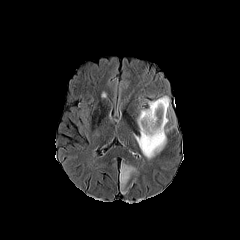
FLAIR magnetic resonance.
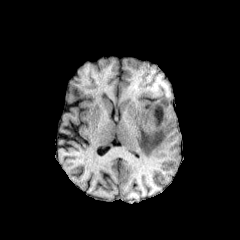
Same slice, T1-weighted magnetic resonance.
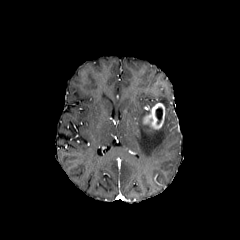
Post-contrast T1-weighted magnetic resonance.
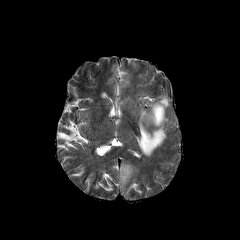
T2-weighted MRI of the same slice.
Brain; 240x240
Annotated regions:
- peritumoral edema: x1=134, y1=95, x2=172, y2=159; x1=120, y1=164, x2=135, y2=188
- necrotic tumor core: x1=156, y1=107, x2=162, y2=124
- enhancing tumor: x1=142, y1=103, x2=165, y2=129